Slice 113 of 155; Brain
FLAIR MR image.
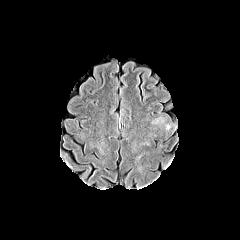
T1-weighted MRI.
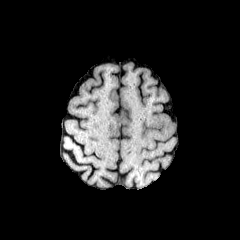
Post-contrast T1-weighted MR image.
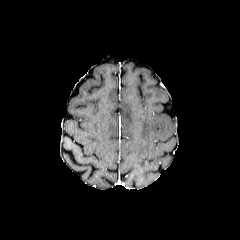
T2-weighted MR image.
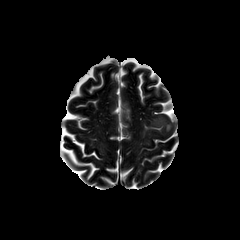
Segmented structures:
* peritumoral edema: (left=151, top=116, right=176, bottom=130)